240x240; Axial view; Brain
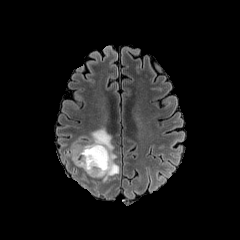
FLAIR magnetic resonance.
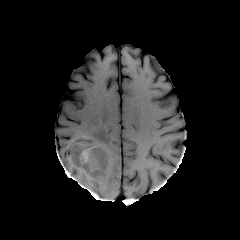
Same slice, T1-weighted MRI.
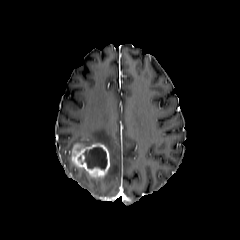
Post-contrast T1-weighted MR image of the same slice.
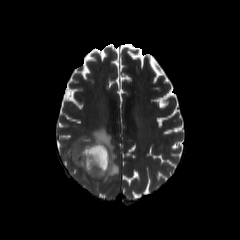
Same slice, T2-weighted MRI.
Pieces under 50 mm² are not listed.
peritumoral edema: box(67, 128, 119, 182)
enhancing tumor: box(71, 143, 110, 177)
necrotic tumor core: box(84, 146, 106, 169)